FLAIR MR image.
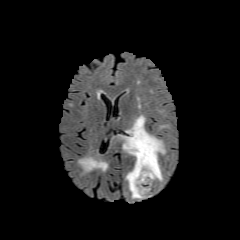
T1-weighted MR image.
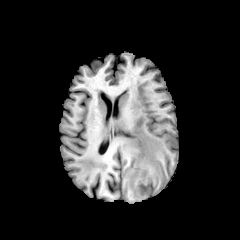
Post-contrast T1-weighted MR image.
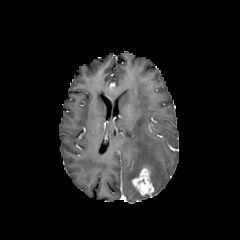
T2-weighted magnetic resonance.
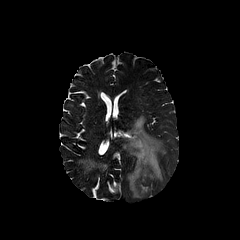
Image size 240x240; Axial slice
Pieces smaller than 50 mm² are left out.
Findings:
* enhancing tumor: x1=132 y1=167 x2=153 y2=195
* peritumoral edema: x1=122 y1=115 x2=165 y2=198